FLAIR MRI.
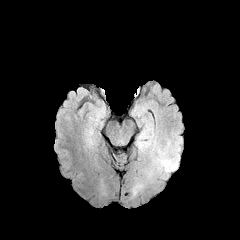
T1-weighted MR.
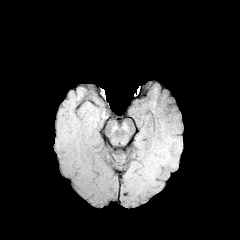
Post-contrast T1-weighted MRI.
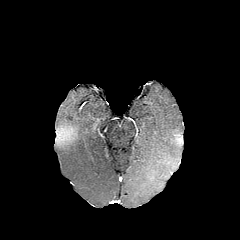
T2-weighted magnetic resonance.
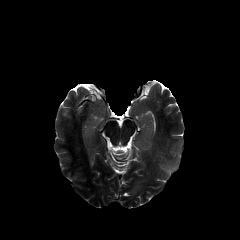
Image size 240x240, Axial slice
peritumoral edema — [135, 127, 183, 187]